FLAIR MRI.
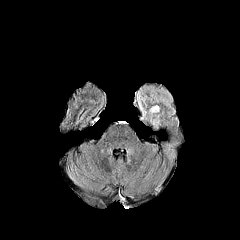
T1-weighted MR image.
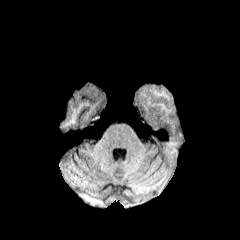
Post-contrast T1-weighted MR image.
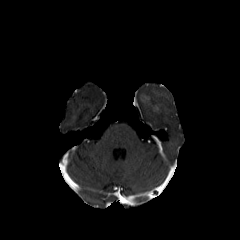
T2-weighted MR.
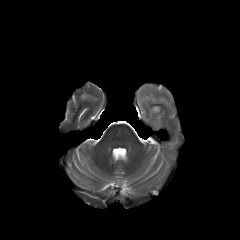
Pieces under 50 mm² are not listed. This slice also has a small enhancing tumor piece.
peritumoral edema: <bbox>137, 92, 146, 116</bbox>, <bbox>149, 106, 159, 127</bbox>